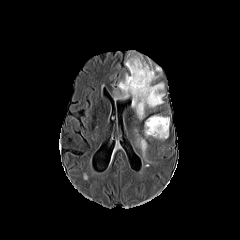
FLAIR MR image.
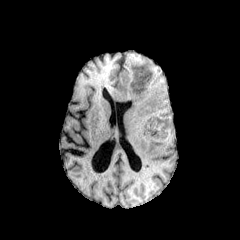
T1-weighted magnetic resonance.
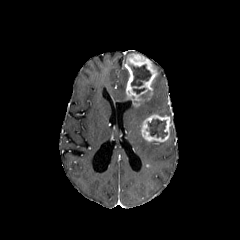
Post-contrast T1-weighted MR image.
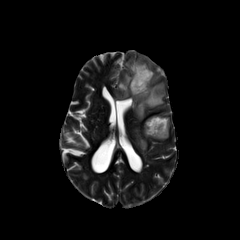
T2-weighted MR image.
Axial slice
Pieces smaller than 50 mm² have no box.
The 3 largest necrotic tumor core regions are bounded by 147,119,167,138; 128,64,151,86; 133,88,145,93. 2 enhancing tumor regions are bounded by 125,53,157,106; 141,114,171,141. The 4 largest peritumoral edema regions appear at 137,138,147,155; 153,63,160,82; 131,82,164,119; 113,73,128,99.